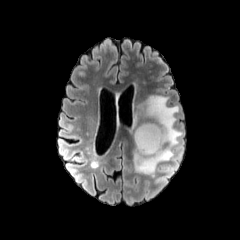
FLAIR MRI.
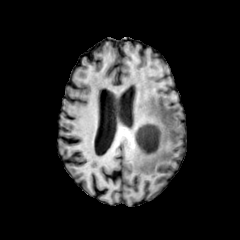
T1-weighted MRI.
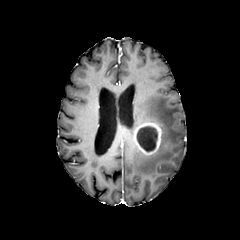
Post-contrast T1-weighted MRI.
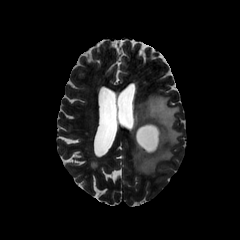
Same slice, T2-weighted MRI.
Axial plane.
<segmentation>
  <enhancing_tumor><box>134,122,162,155</box></enhancing_tumor>
  <necrotic_tumor_core><box>137,126,157,151</box></necrotic_tumor_core>
  <peritumoral_edema><box>130,95,182,174</box></peritumoral_edema>
</segmentation>